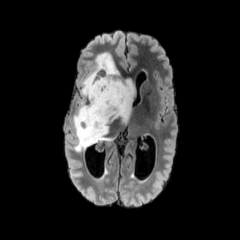
FLAIR MR image.
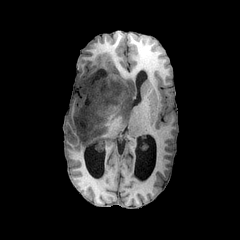
Same slice, T1-weighted MR.
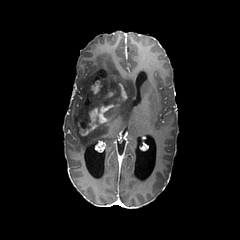
Post-contrast T1-weighted MR.
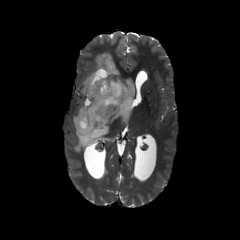
T2-weighted magnetic resonance of the same slice.
240x240 px; Brain
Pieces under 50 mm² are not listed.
{"enhancing_tumor": ["[119,83,127,99]", "[91,69,108,93]", "[78,104,113,135]"], "peritumoral_edema": ["[73,52,135,152]"], "necrotic_tumor_core": ["[97,70,105,77]"]}